Brain
FLAIR MR image.
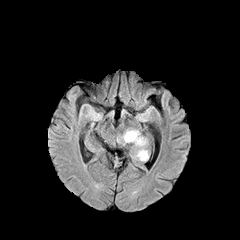
T1-weighted magnetic resonance.
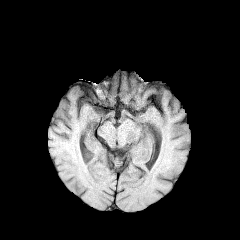
Post-contrast T1-weighted MR.
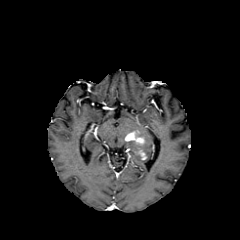
T2-weighted MR image.
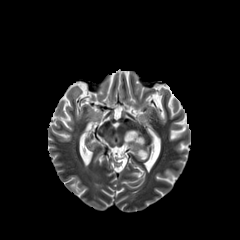
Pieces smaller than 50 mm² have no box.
* peritumoral edema: 122, 130, 137, 143; 135, 139, 148, 160
* enhancing tumor: 138, 150, 146, 159; 125, 131, 145, 144